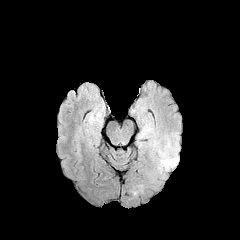
FLAIR MR image.
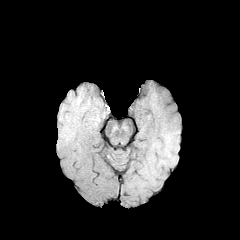
T1-weighted MR image.
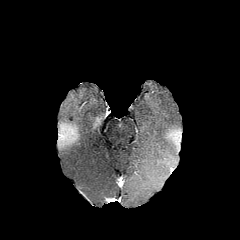
Post-contrast T1-weighted magnetic resonance.
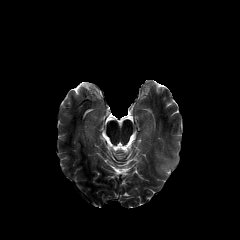
T2-weighted MR image of the same slice.
Brain, Image size 240x240, Axial plane
The peritumoral edema is bounded by [152, 133, 180, 169].